Slice index 90. 240x240. Head.
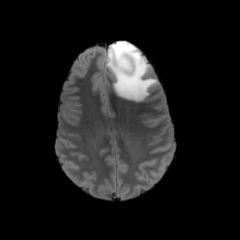
FLAIR MR image.
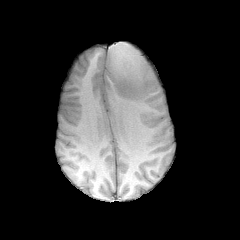
Same slice, T1-weighted MR image.
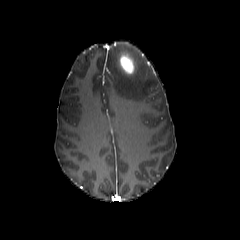
Post-contrast T1-weighted MR.
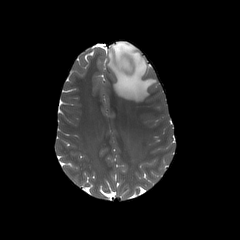
T2-weighted magnetic resonance.
peritumoral edema: (106, 41, 157, 101) | enhancing tumor: (119, 53, 135, 75)